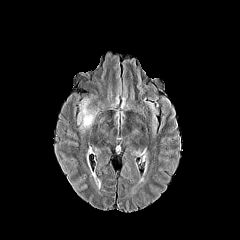
FLAIR MR image.
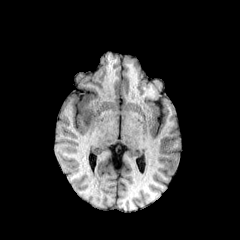
T1-weighted MR.
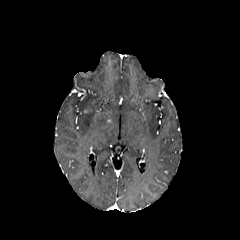
Post-contrast T1-weighted MRI.
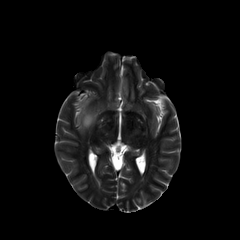
Same slice, T2-weighted MR image.
Brain
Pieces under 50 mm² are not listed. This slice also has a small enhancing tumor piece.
<segmentation>
  <peritumoral_edema>left=78, top=99, right=95, bottom=129</peritumoral_edema>
</segmentation>